Brain. Slice 74 of 155.
FLAIR MRI.
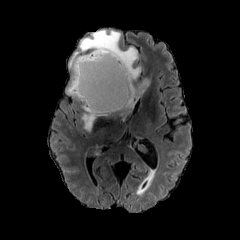
T1-weighted magnetic resonance.
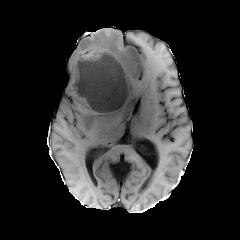
Post-contrast T1-weighted MR image.
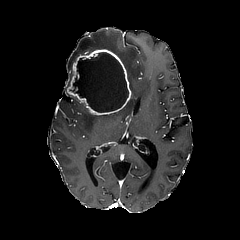
T2-weighted MR image.
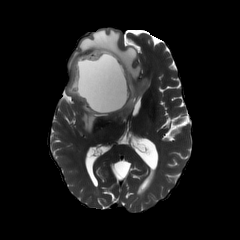
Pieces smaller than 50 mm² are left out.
necrotic tumor core = (left=72, top=52, right=128, bottom=112)
peritumoral edema = (left=68, top=29, right=148, bottom=113), (left=81, top=104, right=105, bottom=131)
enhancing tumor = (left=67, top=48, right=132, bottom=115)